FLAIR magnetic resonance.
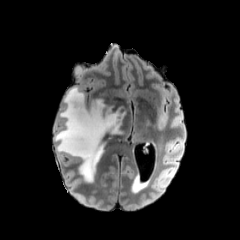
T1-weighted MR.
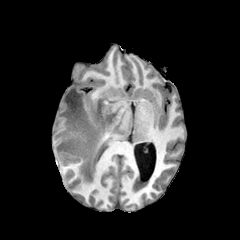
Post-contrast T1-weighted MR.
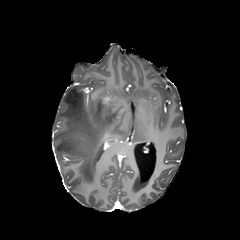
T2-weighted MR image.
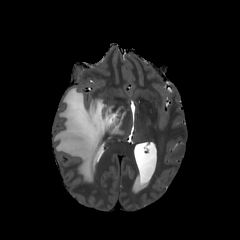
Axial slice; Head
peritumoral edema: <box>54,86,125,182</box>